FLAIR MR image.
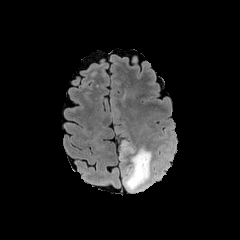
T1-weighted MRI.
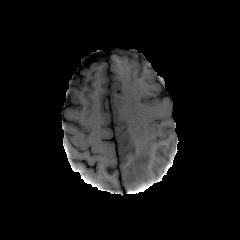
Post-contrast T1-weighted magnetic resonance.
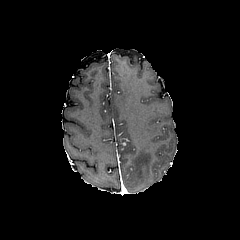
T2-weighted MR image.
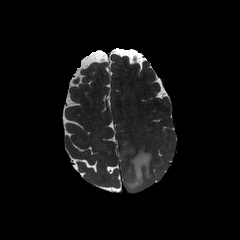
240x240.
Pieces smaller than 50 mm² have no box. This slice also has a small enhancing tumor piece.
Segmented structures:
* peritumoral edema: 120, 140, 161, 192